Brain
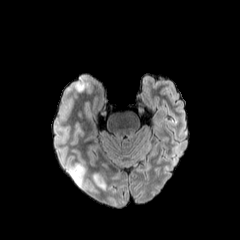
FLAIR MRI.
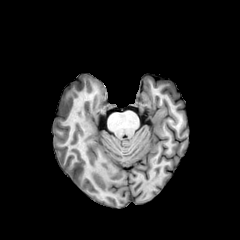
Same slice, T1-weighted MR image.
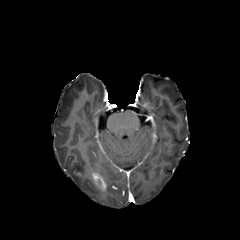
Post-contrast T1-weighted MR of the same slice.
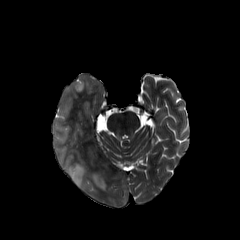
Same slice, T2-weighted magnetic resonance.
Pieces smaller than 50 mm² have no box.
The largest enhancing tumor region is located at x1=91, y1=171, x2=106, y2=191. The 2 largest peritumoral edema regions are located at x1=73, y1=77, x2=84, y2=91; x1=68, y1=164, x2=87, y2=188.